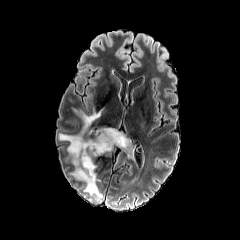
FLAIR MR image.
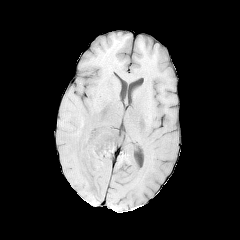
T1-weighted MR image.
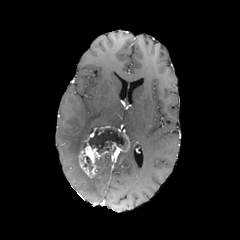
Post-contrast T1-weighted magnetic resonance.
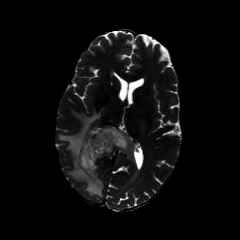
T2-weighted MR image of the same slice.
Axial plane | Brain
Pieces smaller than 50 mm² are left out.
- necrotic tumor core: [88,129,124,153]
- enhancing tumor: [78,126,130,178]
- peritumoral edema: [59,108,103,197]